Brain; Image width 240 mm, 1.00 mm slice spacing; Image size 240x240; Slice 76 of 155
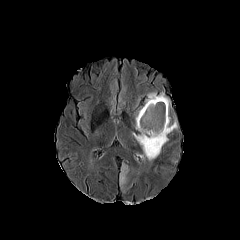
FLAIR MR.
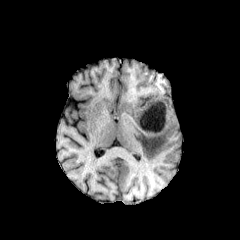
T1-weighted MR of the same slice.
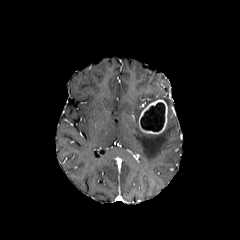
Post-contrast T1-weighted MR image.
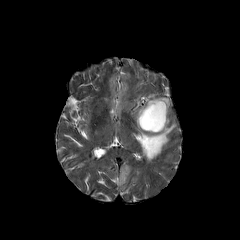
T2-weighted MRI of the same slice.
peritumoral edema: box=[132, 92, 177, 160]; box=[120, 164, 128, 185] | enhancing tumor: box=[138, 99, 167, 134] | necrotic tumor core: box=[140, 102, 165, 131]